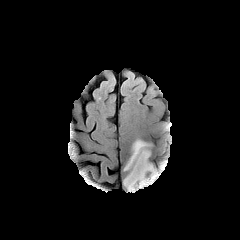
FLAIR MR.
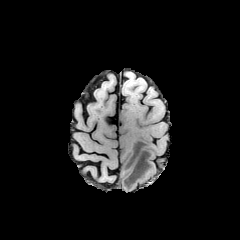
T1-weighted MR.
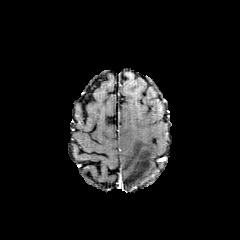
Post-contrast T1-weighted MRI.
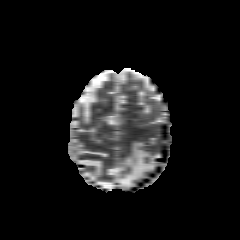
T2-weighted magnetic resonance of the same slice.
Brain; Axial view; Image size 240x240
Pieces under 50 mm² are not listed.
The largest peritumoral edema region is located at {"x1": 123, "y1": 140, "x2": 154, "y2": 190}.